FLAIR MR image.
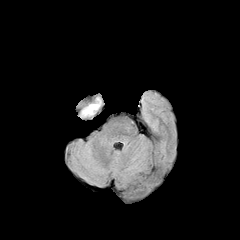
T1-weighted MR image.
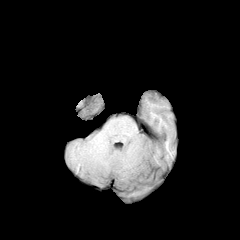
Post-contrast T1-weighted MRI.
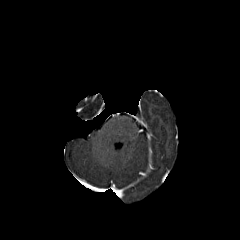
T2-weighted MRI.
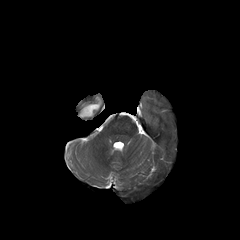
Brain. Axial view.
{"peritumoral_edema": ["82 99 100 115"]}